Slice index 81. Image size 240x240. Axial view. Brain.
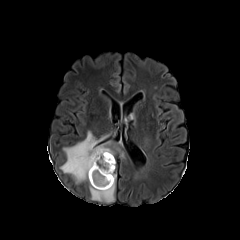
FLAIR MR image.
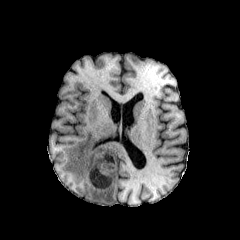
T1-weighted MR.
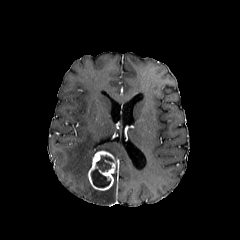
Post-contrast T1-weighted MR image of the same slice.
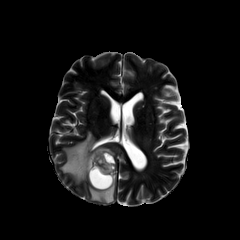
Same slice, T2-weighted MR.
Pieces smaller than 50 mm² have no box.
* enhancing tumor: box=[88, 150, 115, 190]
* peritumoral edema: box=[60, 131, 125, 183]; box=[89, 173, 116, 203]
* necrotic tumor core: box=[91, 155, 113, 187]